Image width 240 mm | 240x240
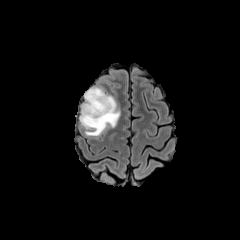
FLAIR MR.
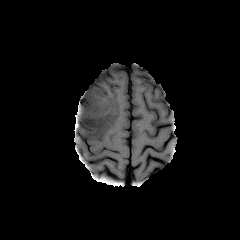
T1-weighted MRI of the same slice.
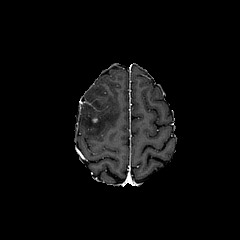
Post-contrast T1-weighted MR image.
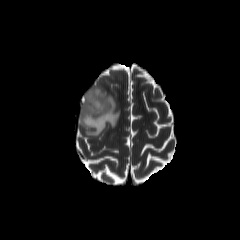
T2-weighted MR.
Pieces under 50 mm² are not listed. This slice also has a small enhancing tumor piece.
{"peritumoral_edema": ["rect(79, 87, 120, 136)"]}